FLAIR magnetic resonance.
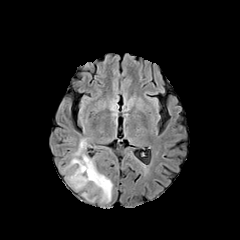
T1-weighted MR image.
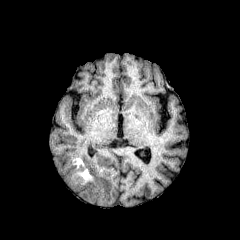
Post-contrast T1-weighted MRI.
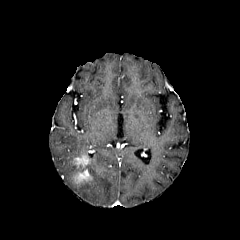
T2-weighted MR.
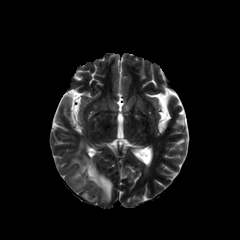
Image size 240x240.
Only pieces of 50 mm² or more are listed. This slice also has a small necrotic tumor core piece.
Findings:
• enhancing tumor: <bbox>73, 155, 91, 168</bbox>, <bbox>73, 172, 84, 183</bbox>
• peritumoral edema: <bbox>75, 139, 86, 156</bbox>, <bbox>71, 176, 87, 188</bbox>, <bbox>87, 159, 112, 202</bbox>